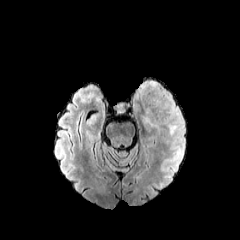
FLAIR MR image.
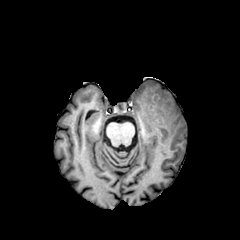
T1-weighted MR image.
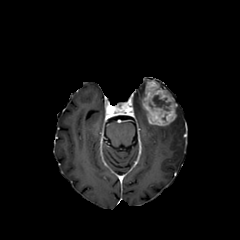
Post-contrast T1-weighted MR.
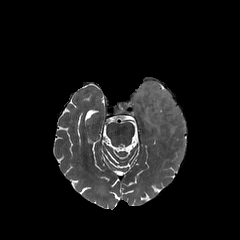
T2-weighted MRI of the same slice.
Axial view
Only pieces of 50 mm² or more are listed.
necrotic tumor core = left=153, top=95, right=170, bottom=110
peritumoral edema = left=166, top=107, right=184, bottom=140; left=135, top=82, right=145, bottom=107
enhancing tumor = left=141, top=80, right=176, bottom=125